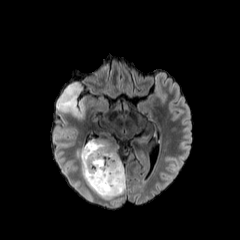
FLAIR magnetic resonance.
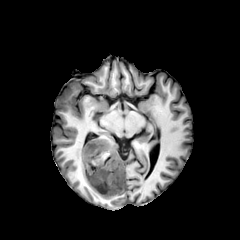
T1-weighted MR image.
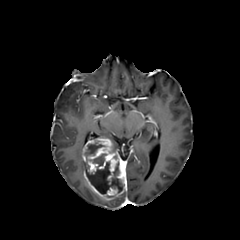
Same slice, post-contrast T1-weighted MRI.
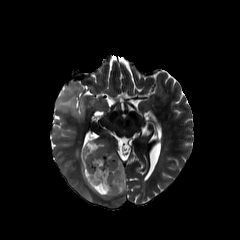
T2-weighted MRI of the same slice.
Head | Axial slice
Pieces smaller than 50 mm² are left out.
enhancing tumor = x1=82, y1=138, x2=126, y2=200
peritumoral edema = x1=77, y1=152, x2=85, y2=178; x1=83, y1=190, x2=93, y2=201; x1=56, y1=82, x2=84, y2=116
necrotic tumor core = x1=85, y1=153, x2=123, y2=194; x1=85, y1=143, x2=104, y2=155